Slice 28/155. 240x240.
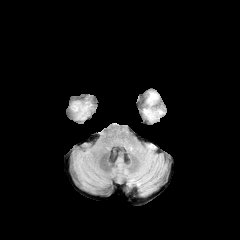
FLAIR MR image.
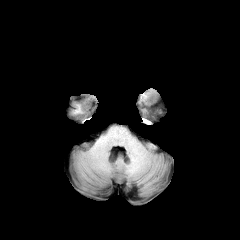
T1-weighted MRI of the same slice.
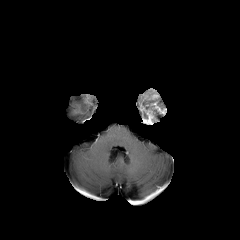
Same slice, post-contrast T1-weighted MR image.
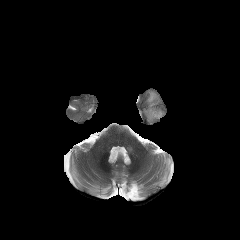
Same slice, T2-weighted MRI.
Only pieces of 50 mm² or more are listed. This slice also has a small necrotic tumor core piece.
The enhancing tumor is at (left=142, top=92, right=166, bottom=124).